FLAIR MRI.
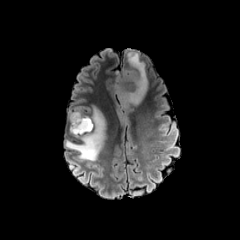
T1-weighted MR.
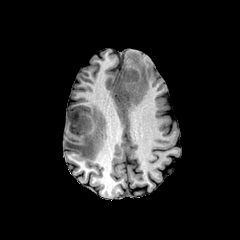
Post-contrast T1-weighted magnetic resonance.
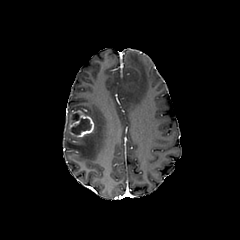
T2-weighted MR.
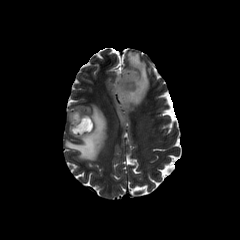
Brain, Axial view, 240x240 px
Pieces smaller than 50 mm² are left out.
necrotic tumor core — [71,113,79,121], [71,118,91,134]
peritumoral edema — [65,105,106,161], [114,51,148,107]
enhancing tumor — [68,110,94,137]